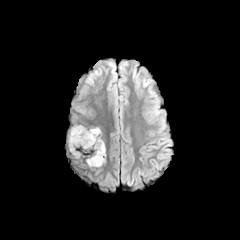
FLAIR magnetic resonance.
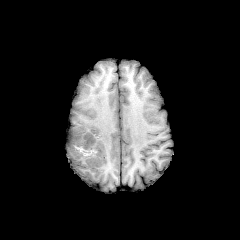
T1-weighted magnetic resonance of the same slice.
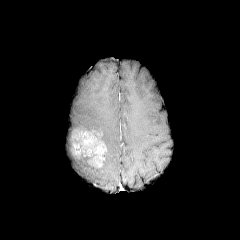
Same slice, post-contrast T1-weighted magnetic resonance.
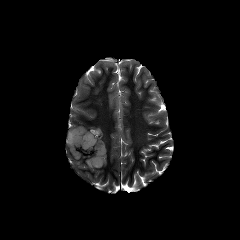
T2-weighted MR of the same slice.
240x240 px
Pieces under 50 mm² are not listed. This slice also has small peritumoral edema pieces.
Annotated regions:
* enhancing tumor: <bbox>70, 128, 106, 167</bbox>